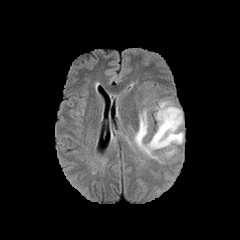
FLAIR MR image.
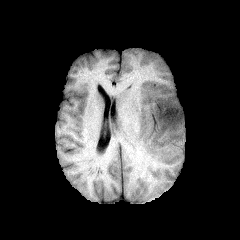
T1-weighted magnetic resonance.
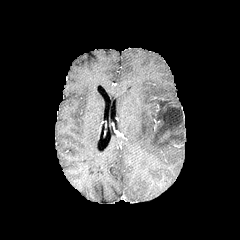
Same slice, post-contrast T1-weighted MRI.
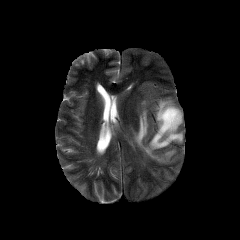
T2-weighted magnetic resonance of the same slice.
Axial plane; Head
The peritumoral edema is located at [134, 100, 183, 162].